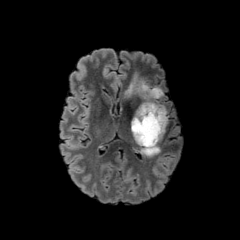
FLAIR MR image.
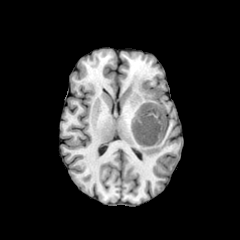
T1-weighted MRI of the same slice.
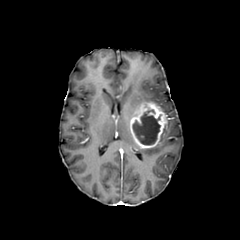
Post-contrast T1-weighted MRI.
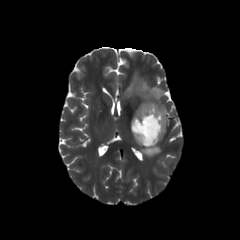
T2-weighted MR.
Brain
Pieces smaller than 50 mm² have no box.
Findings:
* necrotic tumor core: {"x1": 133, "y1": 109, "x2": 160, "y2": 145}
* peritumoral edema: {"x1": 124, "y1": 72, "x2": 167, "y2": 114}, {"x1": 140, "y1": 144, "x2": 160, "y2": 156}
* enhancing tumor: {"x1": 130, "y1": 102, "x2": 168, "y2": 148}